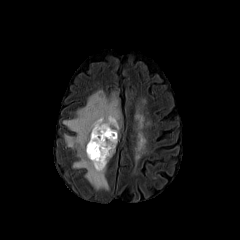
FLAIR MR.
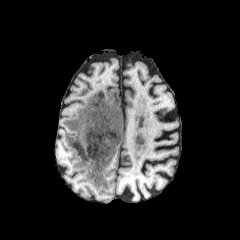
T1-weighted MR of the same slice.
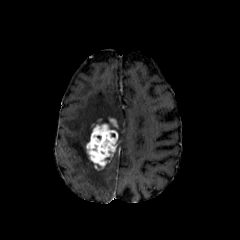
Post-contrast T1-weighted MR image.
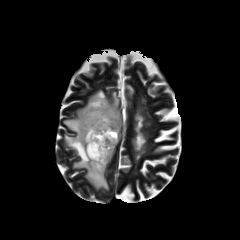
T2-weighted magnetic resonance.
Brain, 240x240
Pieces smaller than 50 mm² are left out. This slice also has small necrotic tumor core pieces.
The peritumoral edema is bounded by bbox(63, 90, 121, 189). 2 enhancing tumor regions are bounded by bbox(108, 117, 118, 128); bbox(86, 119, 118, 170).